240x240 px; Axial plane; Head
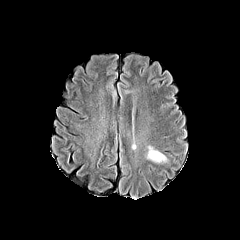
FLAIR MRI.
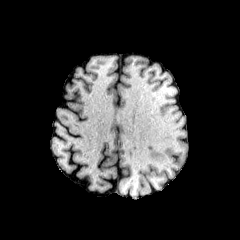
Same slice, T1-weighted MR.
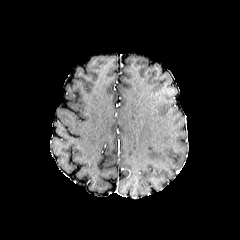
Post-contrast T1-weighted MR image.
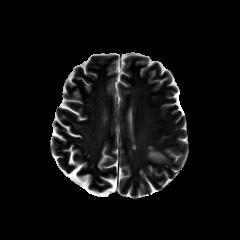
T2-weighted magnetic resonance.
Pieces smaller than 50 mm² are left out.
<segmentation>
  <peritumoral_edema>bbox=[146, 145, 168, 163]</peritumoral_edema>
</segmentation>